FLAIR MR image.
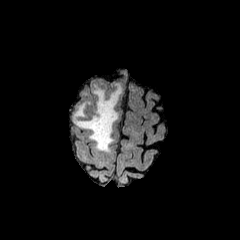
T1-weighted MR.
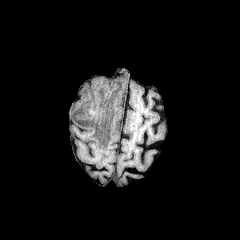
Post-contrast T1-weighted MR image.
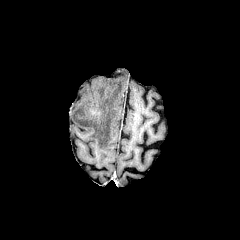
T2-weighted MR.
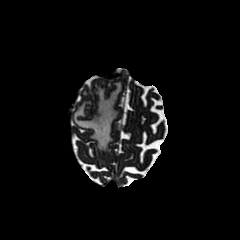
Head; Axial view
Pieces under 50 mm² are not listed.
<segmentation>
  <peritumoral_edema>{"x1": 73, "y1": 83, "x2": 121, "y2": 152}</peritumoral_edema>
</segmentation>